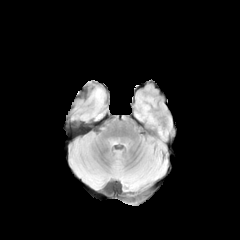
FLAIR magnetic resonance.
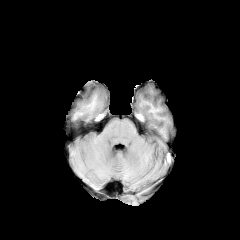
T1-weighted MR.
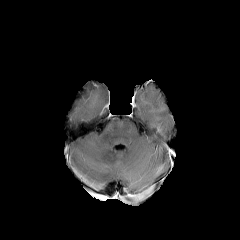
Same slice, post-contrast T1-weighted magnetic resonance.
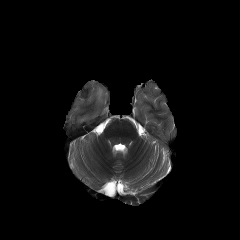
T2-weighted MR image.
peritumoral_edema:
  - <bbox>94, 88, 103, 103</bbox>